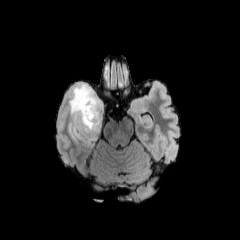
FLAIR MR.
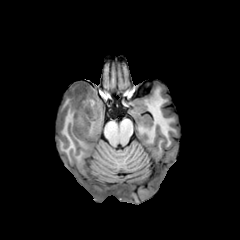
T1-weighted MRI of the same slice.
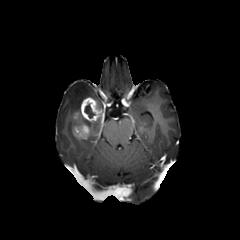
Post-contrast T1-weighted MRI of the same slice.
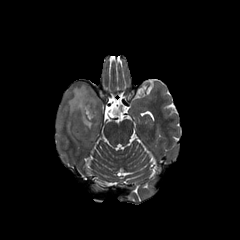
T2-weighted MR.
Brain. Image size 240x240. Axial view.
peritumoral edema: bounding box (68,83,103,139), (80,119,101,145)
enhancing tumor: bounding box (72,97,103,139)
necrotic tumor core: bounding box (84,104,94,118)